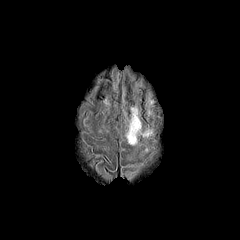
FLAIR MR image.
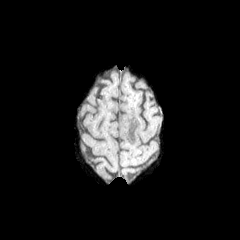
T1-weighted MRI of the same slice.
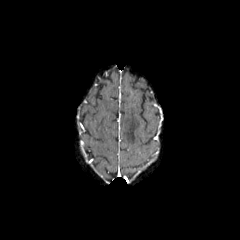
Post-contrast T1-weighted magnetic resonance.
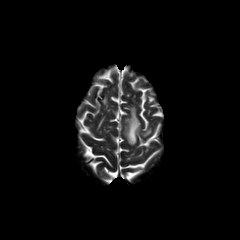
T2-weighted MR image.
240x240.
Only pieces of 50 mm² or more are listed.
The largest peritumoral edema region is located at [x1=125, y1=107, x2=140, y2=144].